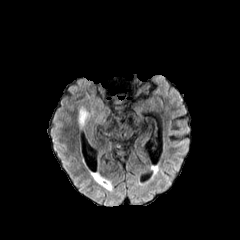
FLAIR magnetic resonance.
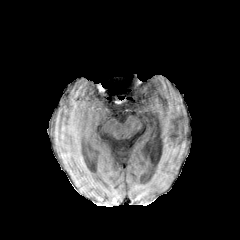
T1-weighted magnetic resonance.
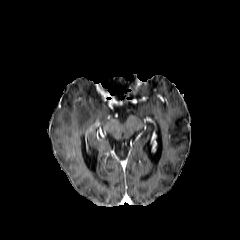
Post-contrast T1-weighted MR image.
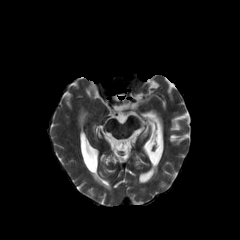
T2-weighted MR image.
Axial plane | 240x240 px
peritumoral edema at left=79, top=107, right=89, bottom=127